FLAIR MR.
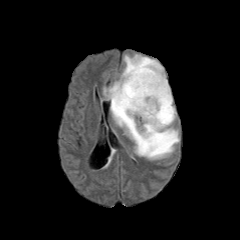
T1-weighted MR image.
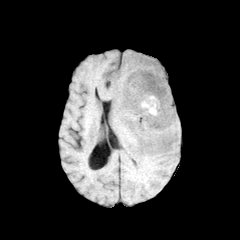
Post-contrast T1-weighted MR.
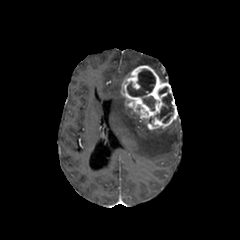
T2-weighted MRI.
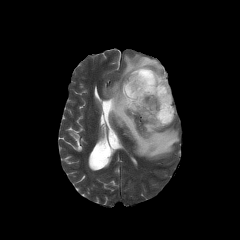
Axial slice | Brain
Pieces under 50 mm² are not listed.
The peritumoral edema is at [x1=103, y1=54, x2=179, y2=159]. The 3 largest necrotic tumor core regions appear at [x1=143, y1=96, x2=155, y2=110], [x1=127, y1=69, x2=155, y2=96], [x1=157, y1=93, x2=173, y2=122]. The enhancing tumor is at [x1=120, y1=65, x2=177, y2=130].